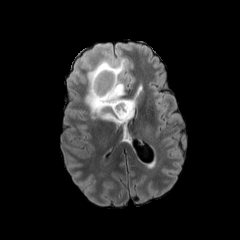
FLAIR MR image.
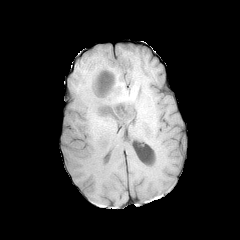
T1-weighted MRI.
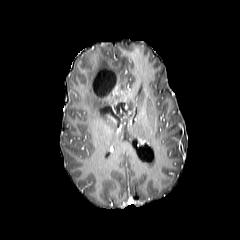
Post-contrast T1-weighted MRI.
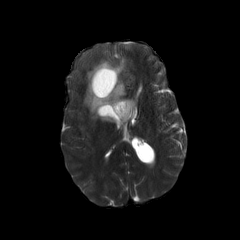
T2-weighted MR image of the same slice.
Axial slice; 240x240; Head
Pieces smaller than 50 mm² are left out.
{
  "necrotic_tumor_core": [
    "(x1=117, y1=103, x2=124, y2=112)",
    "(x1=93, y1=69, x2=115, y2=95)"
  ],
  "enhancing_tumor": [
    "(x1=112, y1=100, x2=133, y2=126)",
    "(x1=103, y1=83, x2=121, y2=100)"
  ],
  "peritumoral_edema": [
    "(x1=84, y1=59, x2=135, y2=124)"
  ]
}